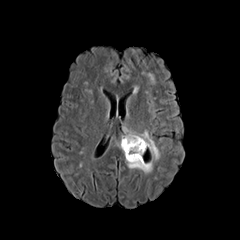
FLAIR magnetic resonance.
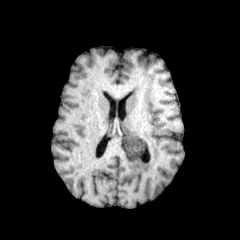
T1-weighted MRI.
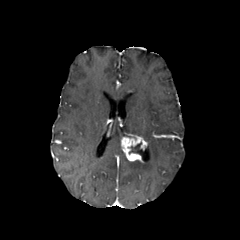
Post-contrast T1-weighted MR image of the same slice.
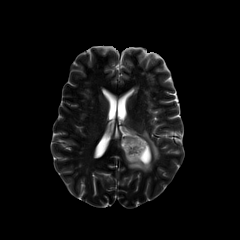
T2-weighted MR of the same slice.
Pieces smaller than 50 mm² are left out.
peritumoral edema: box(125, 129, 159, 173)
necrotic tumor core: box(128, 142, 144, 153)
enhancing tumor: box(121, 134, 147, 162)